Head. Slice 77/155.
FLAIR MR image.
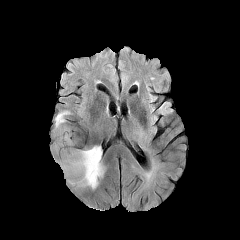
T1-weighted MR image.
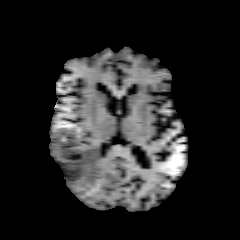
Post-contrast T1-weighted MRI.
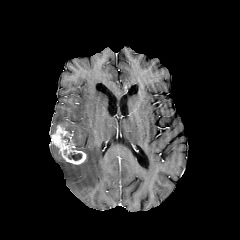
T2-weighted magnetic resonance.
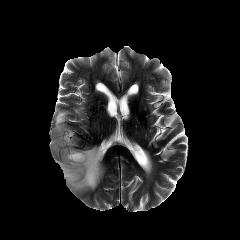
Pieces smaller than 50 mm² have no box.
peritumoral edema: [55, 146, 104, 189], [53, 110, 71, 133] | necrotic tumor core: [68, 153, 81, 160] | enhancing tumor: [51, 125, 86, 164]